FLAIR MR image.
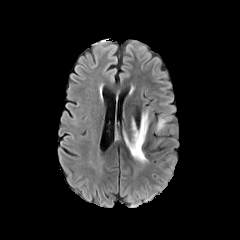
T1-weighted MRI.
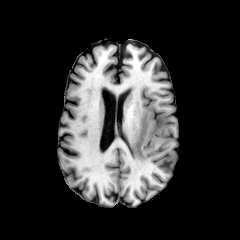
Post-contrast T1-weighted MR image.
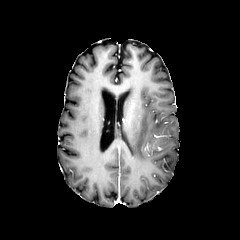
T2-weighted magnetic resonance.
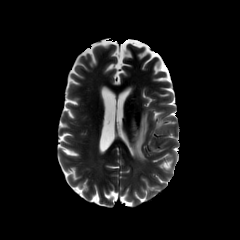
Brain.
Findings:
* peritumoral edema: [157, 117, 166, 131], [125, 111, 148, 163]